FLAIR MRI.
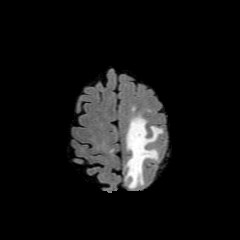
T1-weighted MR.
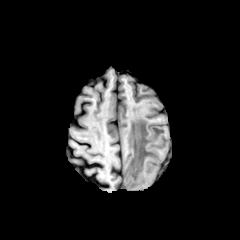
Post-contrast T1-weighted MR.
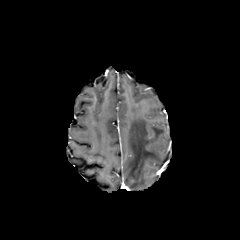
T2-weighted MR image.
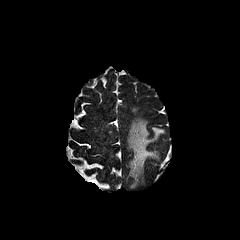
Image size 240x240
peritumoral edema: [126, 116, 163, 188]